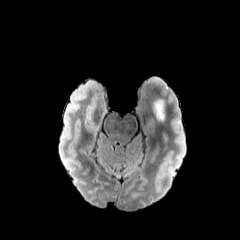
FLAIR MRI.
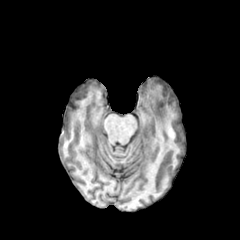
Same slice, T1-weighted MR image.
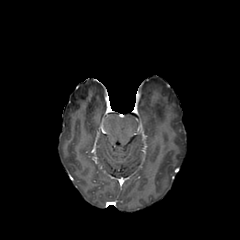
Post-contrast T1-weighted MRI of the same slice.
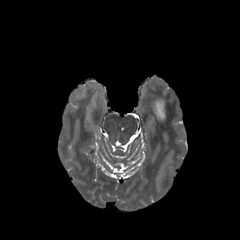
Same slice, T2-weighted MR.
Head
{
  "peritumoral_edema": [
    "(154, 99, 164, 121)"
  ]
}